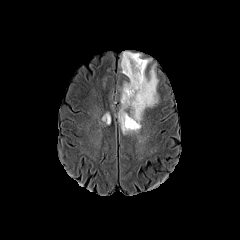
FLAIR MR image.
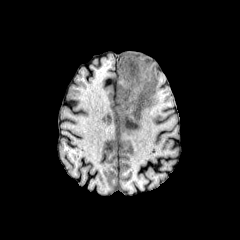
T1-weighted MRI.
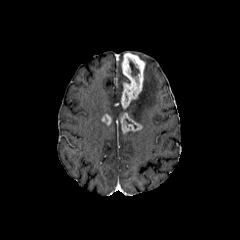
Same slice, post-contrast T1-weighted MR image.
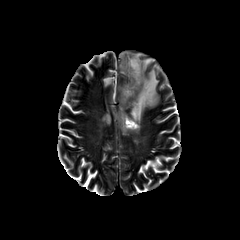
T2-weighted MRI.
Axial plane
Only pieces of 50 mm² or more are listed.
necrotic tumor core = box(129, 61, 138, 75)
peritumoral edema = box(115, 104, 125, 127); box(126, 58, 158, 123)
enhancing tumor = box(102, 114, 111, 124); box(119, 112, 141, 133); box(121, 52, 145, 109)